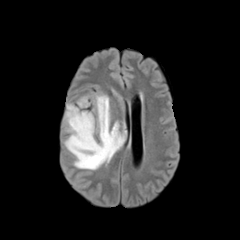
FLAIR MRI.
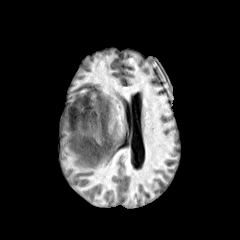
T1-weighted MR image.
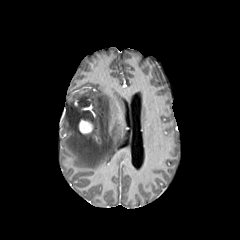
Same slice, post-contrast T1-weighted MRI.
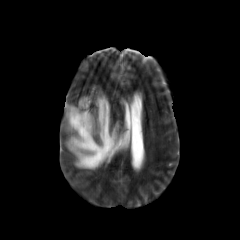
T2-weighted MRI.
Axial slice. Head.
enhancing tumor: 79, 120, 93, 133
peritumoral edema: 65, 95, 124, 169